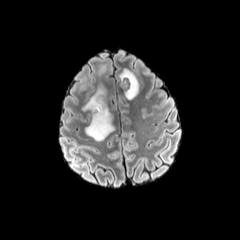
FLAIR MR.
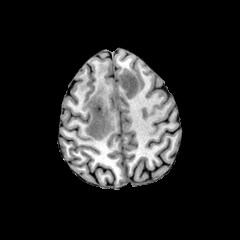
Same slice, T1-weighted MRI.
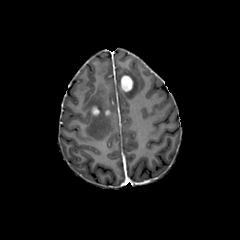
Same slice, post-contrast T1-weighted magnetic resonance.
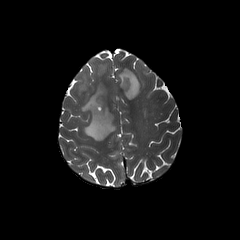
T2-weighted MR.
Head
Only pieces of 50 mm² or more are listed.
The necrotic tumor core is at rect(124, 78, 129, 90). 3 peritumoral edema regions are bounded by rect(82, 59, 114, 141); rect(79, 71, 88, 90); rect(119, 67, 140, 100). The 2 largest enhancing tumor regions appear at rect(121, 75, 133, 91); rect(92, 106, 100, 115).